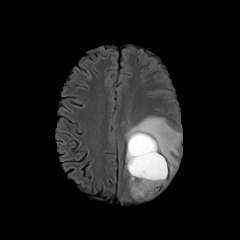
FLAIR MRI.
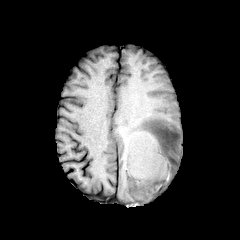
T1-weighted MR image of the same slice.
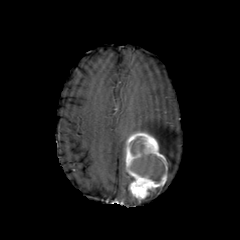
Post-contrast T1-weighted magnetic resonance.
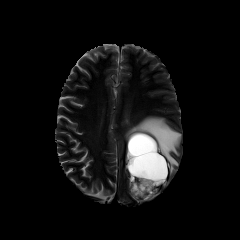
Same slice, T2-weighted MR.
240x240 px | Head
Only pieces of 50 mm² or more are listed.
Segmented structures:
- necrotic tumor core: rect(130, 137, 164, 183)
- enhancing tumor: rect(126, 132, 167, 199)
- peritumoral edema: rect(124, 116, 182, 175)